Head, Slice index 100
FLAIR MR.
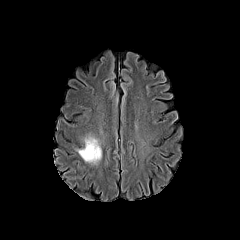
T1-weighted magnetic resonance.
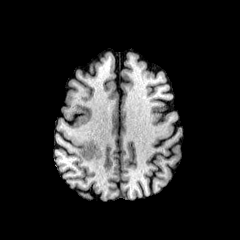
Post-contrast T1-weighted magnetic resonance.
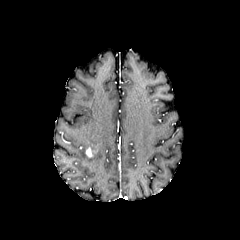
T2-weighted MRI.
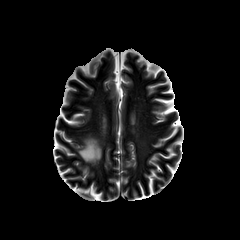
peritumoral_edema:
  - 77, 135, 101, 164
enhancing_tumor:
  - 85, 146, 93, 157